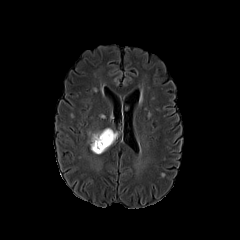
FLAIR MR.
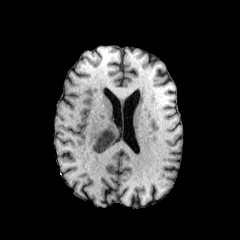
T1-weighted magnetic resonance of the same slice.
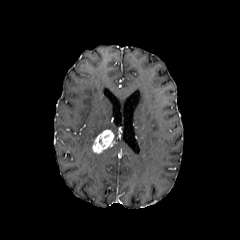
Post-contrast T1-weighted magnetic resonance.
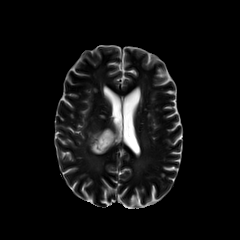
T2-weighted magnetic resonance.
Brain, Axial view
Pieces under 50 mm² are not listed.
enhancing tumor at bbox=[92, 129, 114, 153]
peritumoral edema at bbox=[88, 131, 102, 151]